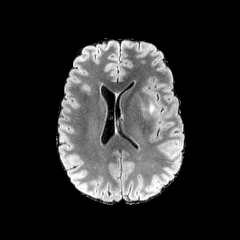
FLAIR magnetic resonance.
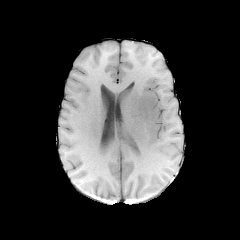
T1-weighted magnetic resonance of the same slice.
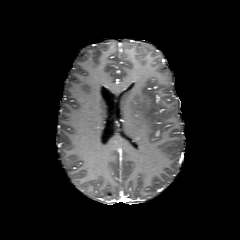
Same slice, post-contrast T1-weighted MRI.
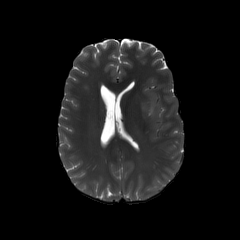
Same slice, T2-weighted MR.
peritumoral edema: rect(142, 101, 155, 114)